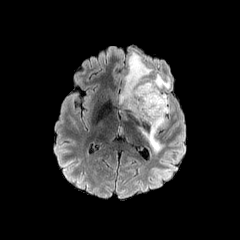
FLAIR MRI.
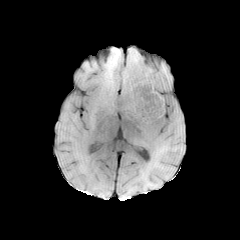
T1-weighted MR image.
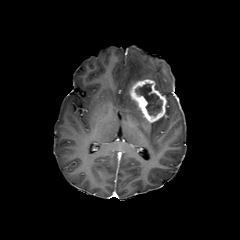
Same slice, post-contrast T1-weighted magnetic resonance.
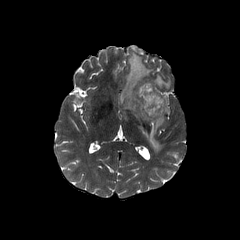
T2-weighted MR.
Head, Image size 240x240, Axial slice
2 peritumoral edema regions are located at (139, 114, 165, 154), (119, 51, 170, 122). The enhancing tumor lies within (129, 79, 166, 123). The necrotic tumor core lies within (135, 83, 162, 115).